Brain; Axial slice
FLAIR MR.
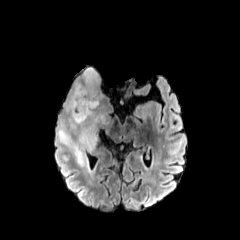
T1-weighted MRI.
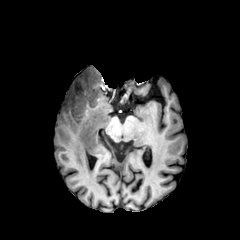
Post-contrast T1-weighted MR.
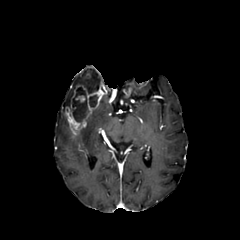
T2-weighted MR.
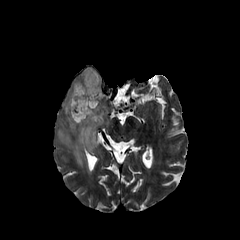
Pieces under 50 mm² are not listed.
enhancing tumor = 75, 95, 85, 102; 63, 83, 104, 137
peritumoral edema = 57, 67, 104, 166
necrotic tumor core = 72, 87, 88, 121; 89, 95, 97, 107